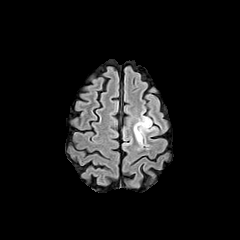
FLAIR MR.
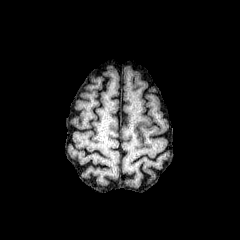
T1-weighted MR image.
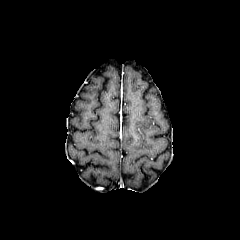
Same slice, post-contrast T1-weighted MRI.
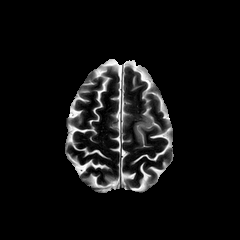
T2-weighted MRI.
Axial view
{"peritumoral_edema": ["[133, 114, 155, 147]"]}